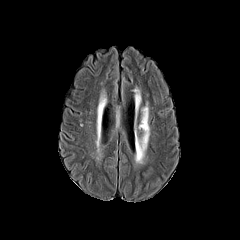
FLAIR MR image.
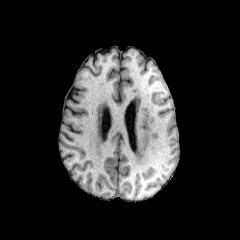
Same slice, T1-weighted MR.
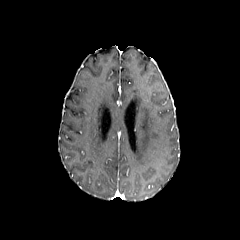
Post-contrast T1-weighted MR image.
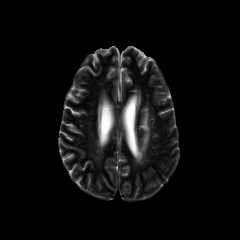
Same slice, T2-weighted magnetic resonance.
Axial plane | 240x240 px
peritumoral edema at 138,106,149,152